Head, Slice index 64, 240x240
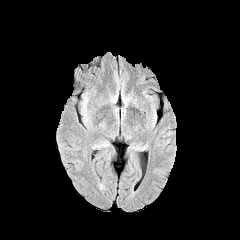
FLAIR magnetic resonance.
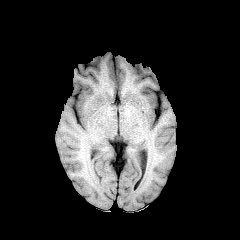
Same slice, T1-weighted MRI.
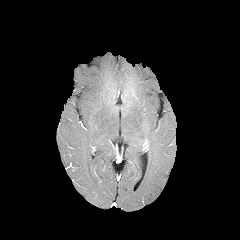
Post-contrast T1-weighted MR.
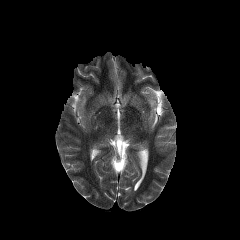
T2-weighted magnetic resonance.
Segmented structures:
* peritumoral edema: l=81, t=97, r=87, b=112